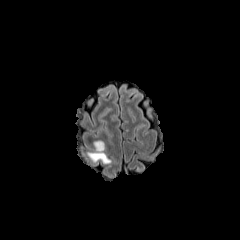
FLAIR MR.
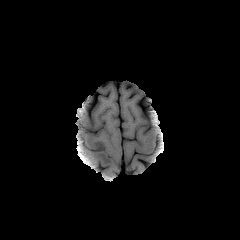
T1-weighted MRI of the same slice.
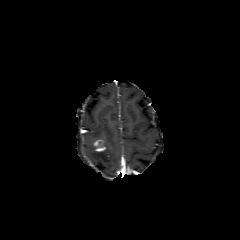
Post-contrast T1-weighted magnetic resonance.
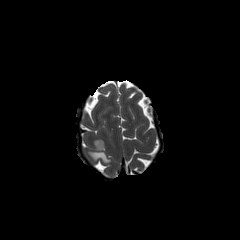
T2-weighted MR of the same slice.
240x240 px
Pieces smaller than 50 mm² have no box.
The enhancing tumor is located at left=94, top=140, right=105, bottom=151. The largest peritumoral edema region appears at left=86, top=147, right=111, bottom=163.